FLAIR MR.
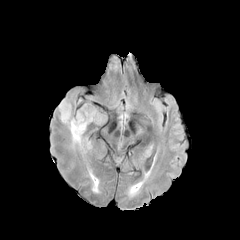
T1-weighted MR.
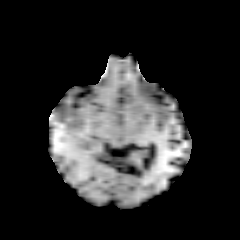
Post-contrast T1-weighted magnetic resonance.
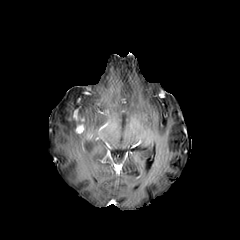
T2-weighted MR image.
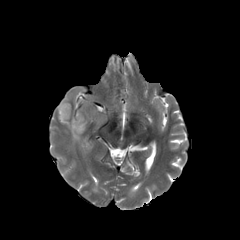
Image size 240x240, Brain
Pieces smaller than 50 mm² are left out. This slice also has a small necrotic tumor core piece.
peritumoral edema at {"x1": 78, "y1": 105, "x2": 92, "y2": 130}, {"x1": 58, "y1": 99, "x2": 82, "y2": 144}
enhancing tumor at {"x1": 72, "y1": 110, "x2": 84, "y2": 133}